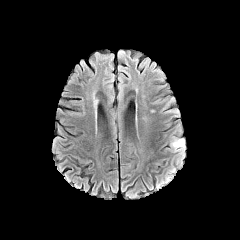
FLAIR magnetic resonance.
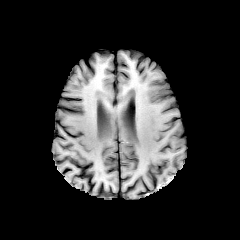
T1-weighted MRI.
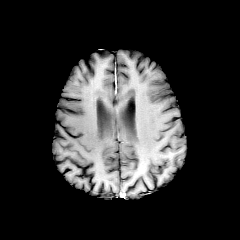
Post-contrast T1-weighted magnetic resonance.
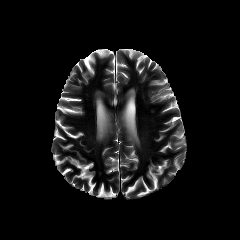
T2-weighted magnetic resonance.
Axial slice.
Annotated regions:
* peritumoral edema: (left=173, top=136, right=186, bottom=149)